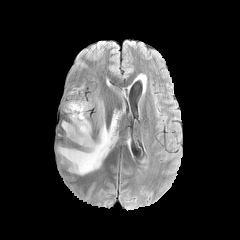
FLAIR MR.
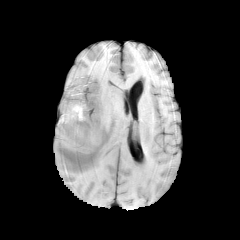
T1-weighted MRI.
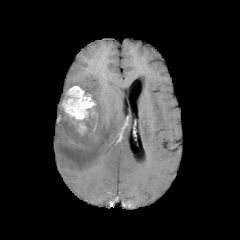
Post-contrast T1-weighted MR image.
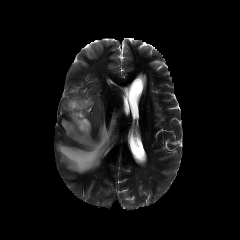
T2-weighted magnetic resonance.
Image size 240x240
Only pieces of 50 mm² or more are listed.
{
  "enhancing_tumor": [
    "x1=62, y1=86, x2=95, y2=133"
  ],
  "peritumoral_edema": [
    "x1=57, y1=98, x2=119, y2=174"
  ]
}